FLAIR MRI.
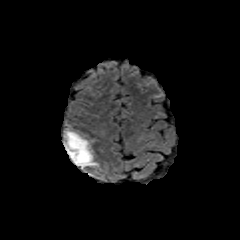
T1-weighted MR.
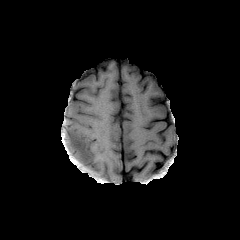
Post-contrast T1-weighted MR image.
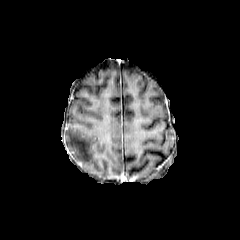
T2-weighted MR image.
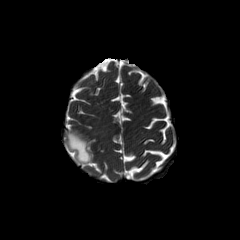
240x240 px
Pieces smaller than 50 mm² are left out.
The largest peritumoral edema region is at 64, 128, 97, 168.